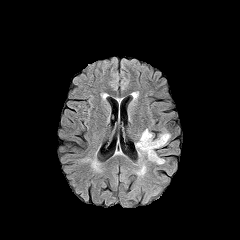
FLAIR magnetic resonance.
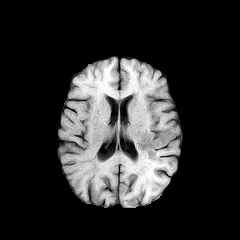
Same slice, T1-weighted magnetic resonance.
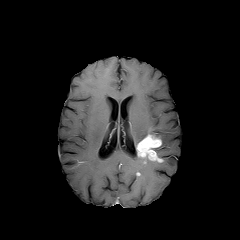
Post-contrast T1-weighted MRI of the same slice.
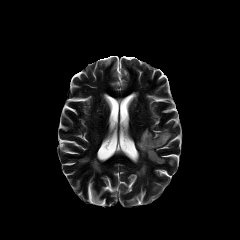
Same slice, T2-weighted MR.
Axial plane | Head
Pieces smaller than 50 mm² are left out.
enhancing tumor: bounding box 136,134,163,162
peritumoral edema: bounding box 135,128,152,147; 157,130,170,146; 139,163,146,175